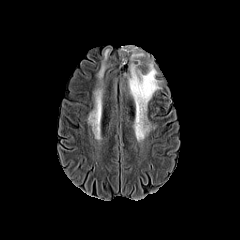
FLAIR MR image.
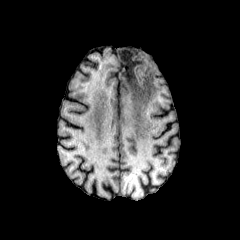
T1-weighted MR.
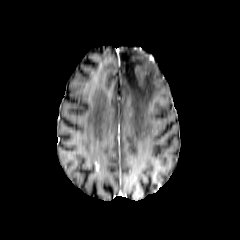
Same slice, post-contrast T1-weighted MR.
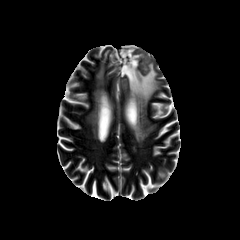
Same slice, T2-weighted MRI.
Brain
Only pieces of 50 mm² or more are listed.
peritumoral edema = bbox(120, 46, 160, 140); bbox(88, 91, 101, 130); bbox(98, 61, 105, 79)